FLAIR MR image.
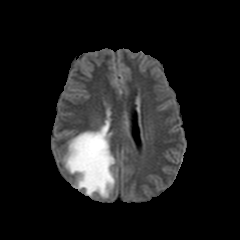
T1-weighted MRI.
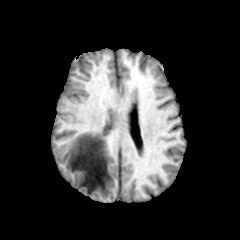
Post-contrast T1-weighted MRI.
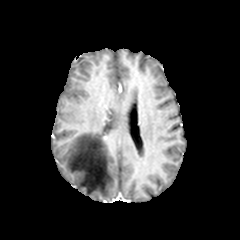
T2-weighted MR image.
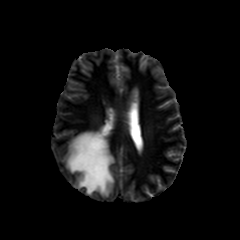
Head, Axial plane
{
  "peritumoral_edema": [
    "(x1=64, y1=120, x2=114, y2=197)"
  ]
}